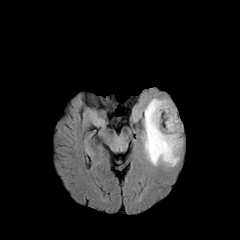
FLAIR magnetic resonance.
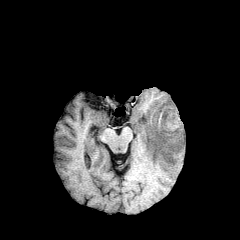
T1-weighted magnetic resonance.
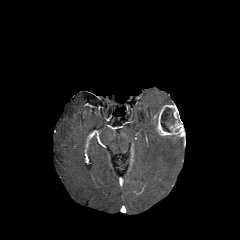
Post-contrast T1-weighted MR of the same slice.
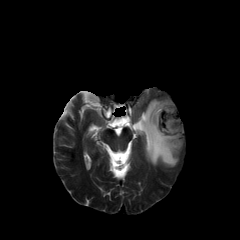
T2-weighted MR image of the same slice.
240x240 px. Brain.
• necrotic tumor core: box(161, 107, 175, 132)
• enhancing tumor: box(153, 104, 184, 138)
• peritumoral edema: box(143, 98, 182, 166)